FLAIR MR.
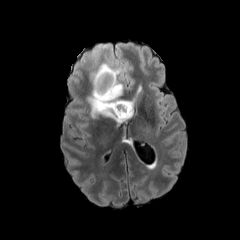
T1-weighted MR.
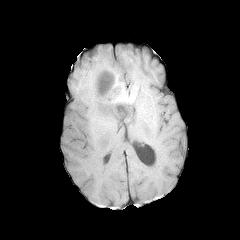
Post-contrast T1-weighted magnetic resonance.
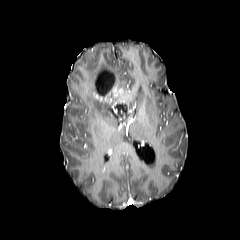
T2-weighted MR image.
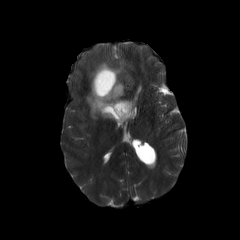
Head.
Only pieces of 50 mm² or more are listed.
Annotated regions:
* peritumoral edema: <box>87,62,127,123</box>, <box>107,83,123,103</box>
* necrotic tumor core: <box>116,104,126,114</box>, <box>96,71,114,94</box>
* enhancing tumor: <box>112,100,132,120</box>, <box>94,79,121,103</box>